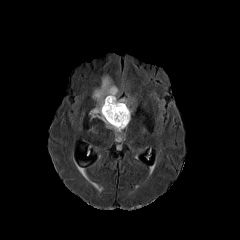
FLAIR MR.
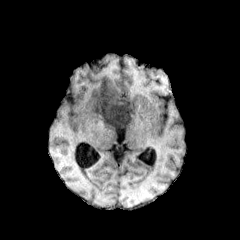
T1-weighted MR.
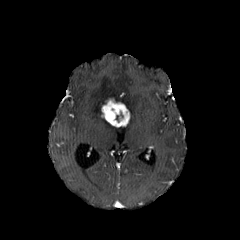
Same slice, post-contrast T1-weighted magnetic resonance.
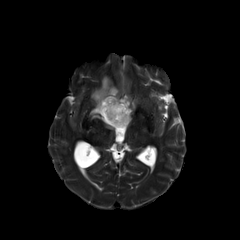
T2-weighted MR.
Head
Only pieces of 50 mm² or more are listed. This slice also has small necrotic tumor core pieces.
enhancing tumor — left=101, top=98, right=130, bottom=127
peritumoral edema — left=89, top=76, right=132, bottom=135